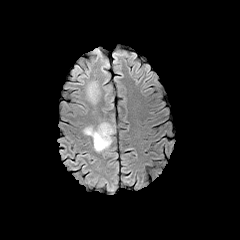
FLAIR MRI.
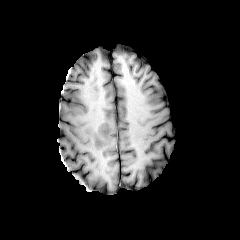
T1-weighted MRI.
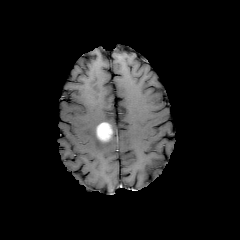
Post-contrast T1-weighted MR.
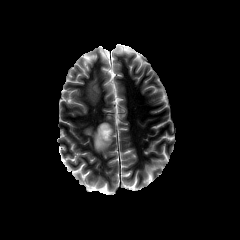
T2-weighted MR.
240x240 px; Brain
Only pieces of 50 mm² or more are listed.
Annotated regions:
* enhancing tumor: 96,122,112,141
* peritumoral edema: 83,124,115,152; 86,81,99,103